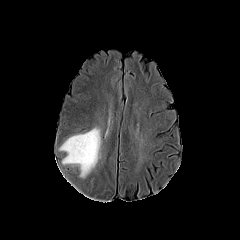
FLAIR magnetic resonance.
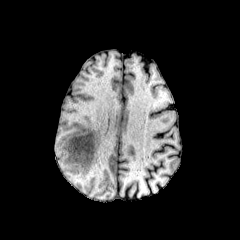
T1-weighted MR image.
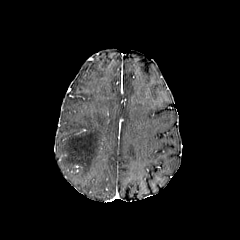
Post-contrast T1-weighted MR image.
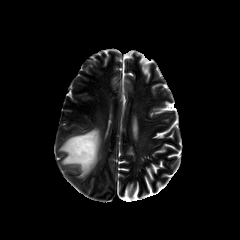
T2-weighted magnetic resonance.
Axial plane | 240x240 px
peritumoral edema = bbox(59, 128, 100, 177)